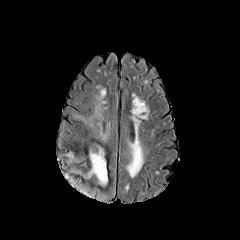
FLAIR MR.
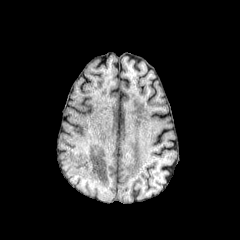
T1-weighted MR image.
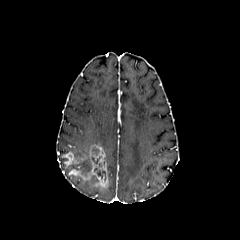
Same slice, post-contrast T1-weighted MRI.
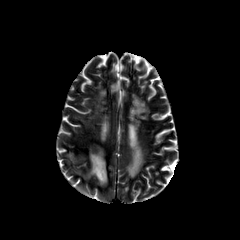
T2-weighted MR.
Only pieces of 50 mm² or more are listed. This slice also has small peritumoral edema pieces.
necrotic tumor core — 94, 167, 105, 179
enhancing tumor — 61, 152, 87, 166; 69, 144, 107, 187